FLAIR MRI.
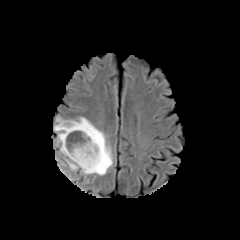
T1-weighted magnetic resonance.
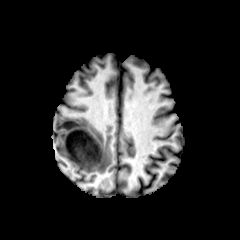
Post-contrast T1-weighted MRI.
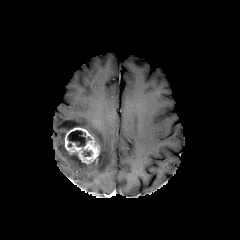
T2-weighted magnetic resonance.
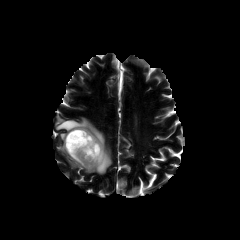
240x240 px; Axial view
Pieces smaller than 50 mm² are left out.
{"peritumoral_edema": ["bbox(54, 116, 112, 175)"], "necrotic_tumor_core": ["bbox(67, 130, 86, 146)"], "enhancing_tumor": ["bbox(63, 126, 100, 166)"]}